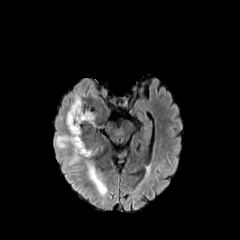
FLAIR MR.
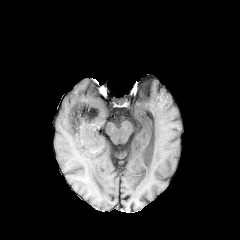
Same slice, T1-weighted magnetic resonance.
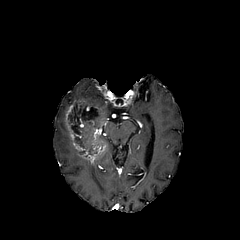
Same slice, post-contrast T1-weighted MR.
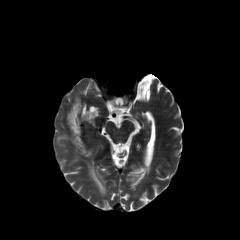
T2-weighted MRI.
Head
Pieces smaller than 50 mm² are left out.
enhancing tumor: x1=63 y1=98 x2=106 y2=162
necrotic tumor core: x1=68 y1=106 x2=97 y2=135
peritumoral edema: x1=85 y1=159 x2=106 y2=195, x1=56 y1=135 x2=71 y2=149, x1=64 y1=146 x2=82 y2=164